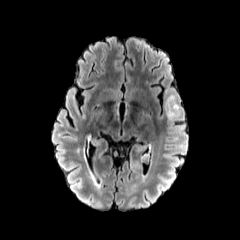
FLAIR MR.
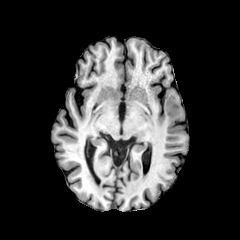
Same slice, T1-weighted MR.
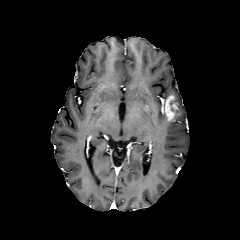
Same slice, post-contrast T1-weighted MR.
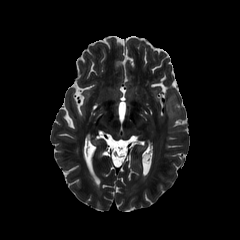
T2-weighted MR of the same slice.
Brain
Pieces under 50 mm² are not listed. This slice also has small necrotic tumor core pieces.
The peritumoral edema is at rect(167, 90, 182, 124). The enhancing tumor is located at rect(164, 94, 178, 120).